FLAIR magnetic resonance.
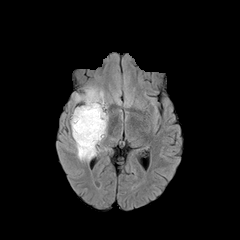
T1-weighted MR image.
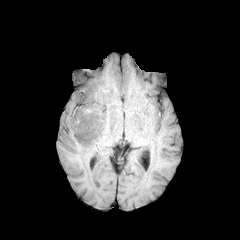
Post-contrast T1-weighted MR.
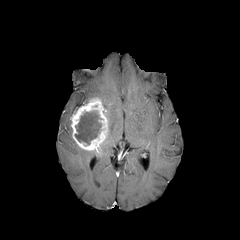
T2-weighted MR image.
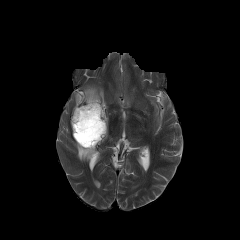
Brain
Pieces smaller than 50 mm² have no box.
enhancing tumor = rect(70, 97, 107, 152)
peritumoral edema = rect(75, 87, 107, 108); rect(73, 140, 94, 160)
necrotic tumor core = rect(75, 112, 101, 144)